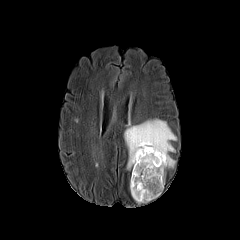
FLAIR MRI.
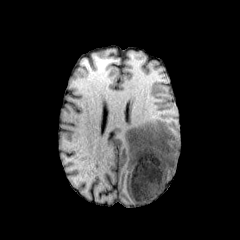
T1-weighted MR.
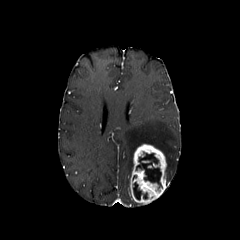
Post-contrast T1-weighted MRI.
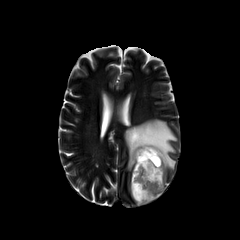
T2-weighted MR.
Brain
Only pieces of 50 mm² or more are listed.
enhancing tumor: box(130, 144, 167, 204)
necrotic tumor core: box(133, 182, 141, 199); box(136, 153, 161, 187)
peritumoral edema: box(124, 118, 177, 170)